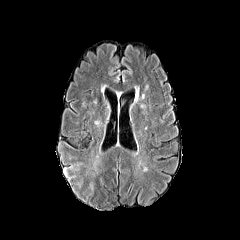
FLAIR MR image.
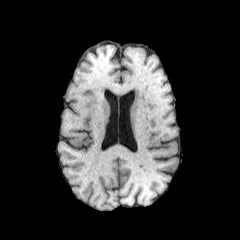
T1-weighted MR.
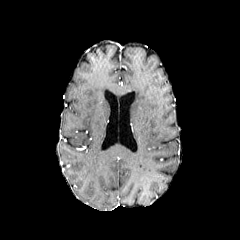
Same slice, post-contrast T1-weighted MR.
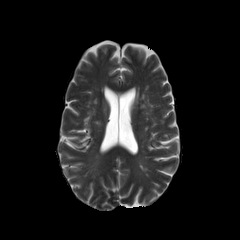
Same slice, T2-weighted MRI.
* peritumoral edema: l=64, t=165, r=75, b=179